Axial plane | Head
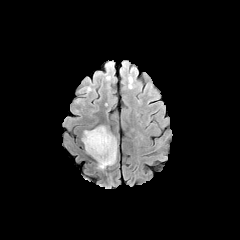
FLAIR magnetic resonance.
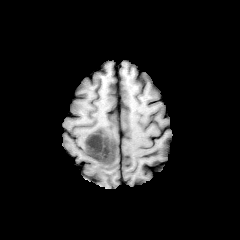
T1-weighted MRI.
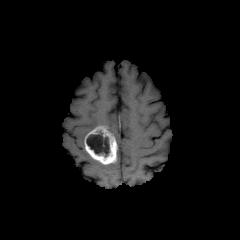
Same slice, post-contrast T1-weighted MRI.
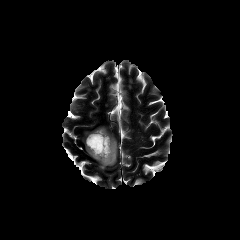
Same slice, T2-weighted MR image.
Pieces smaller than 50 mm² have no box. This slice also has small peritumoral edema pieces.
enhancing tumor — bbox(84, 126, 117, 164)
necrotic tumor core — bbox(86, 131, 109, 156)